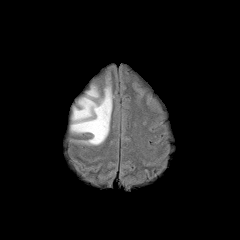
FLAIR MRI.
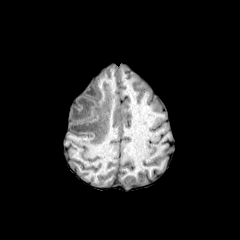
T1-weighted magnetic resonance.
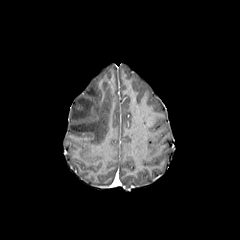
Post-contrast T1-weighted MR.
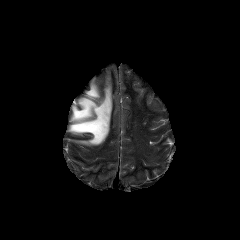
T2-weighted MR.
Axial slice, Brain
peritumoral_edema:
  - box(70, 85, 112, 145)